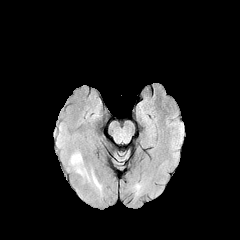
FLAIR magnetic resonance.
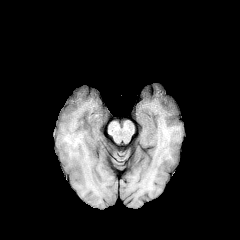
T1-weighted MRI.
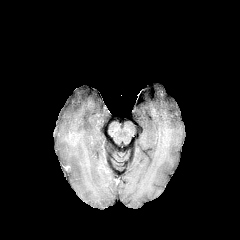
Same slice, post-contrast T1-weighted MR.
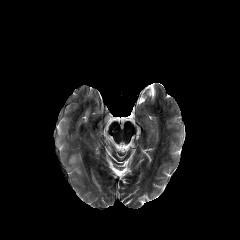
T2-weighted MR.
Axial plane. Brain.
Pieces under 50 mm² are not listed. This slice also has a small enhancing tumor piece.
peritumoral edema: (left=92, top=172, right=100, bottom=189), (left=69, top=153, right=88, bottom=178)